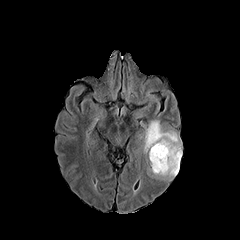
FLAIR MR image.
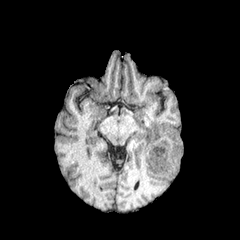
Same slice, T1-weighted MR image.
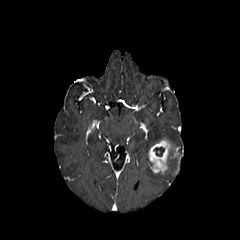
Same slice, post-contrast T1-weighted magnetic resonance.
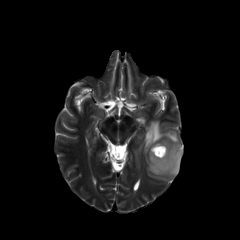
T2-weighted MR image.
Brain | Image size 240x240
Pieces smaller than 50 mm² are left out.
The necrotic tumor core is bounded by (153, 147, 164, 156). The largest enhancing tumor region lies within (148, 139, 180, 174). The 2 largest peritumoral edema regions are bounded by (149, 158, 180, 178), (143, 120, 181, 156).